FLAIR magnetic resonance.
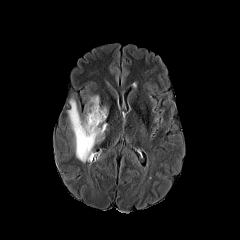
T1-weighted MR image.
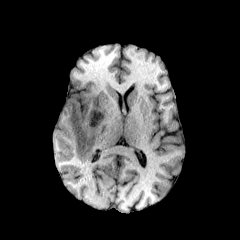
Post-contrast T1-weighted MR image.
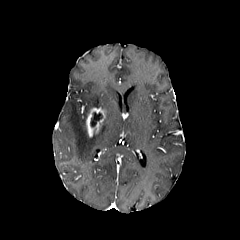
T2-weighted MRI.
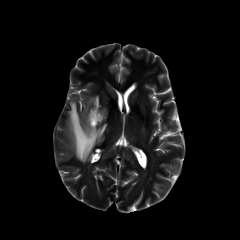
Axial plane. Head.
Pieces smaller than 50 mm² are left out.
The necrotic tumor core is at left=90, top=112, right=102, bottom=127. The enhancing tumor appears at left=86, top=107, right=106, bottom=136. The 2 largest peritumoral edema regions appear at left=85, top=95, right=99, bottom=120; left=67, top=99, right=107, bottom=162.